Axial slice. Head. Slice 108 of 155.
FLAIR MR image.
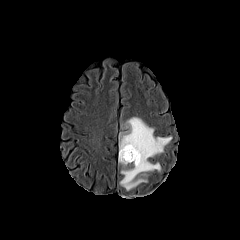
T1-weighted MRI.
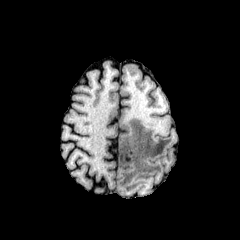
Post-contrast T1-weighted MR.
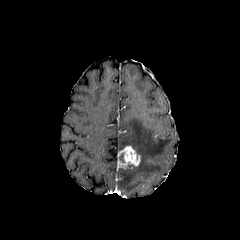
T2-weighted MR image.
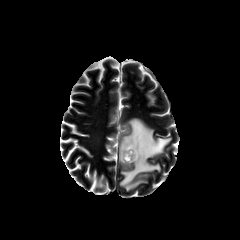
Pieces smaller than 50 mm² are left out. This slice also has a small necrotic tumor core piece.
Annotated regions:
• peritumoral edema: <box>119,117,171,190</box>
• enhancing tumor: <box>118,146,140,167</box>